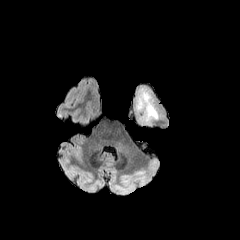
FLAIR magnetic resonance.
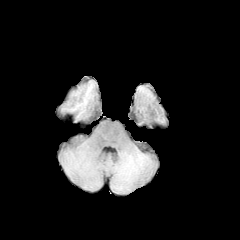
T1-weighted magnetic resonance.
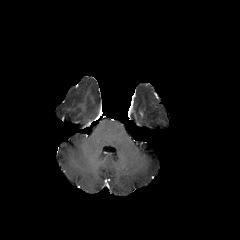
Same slice, post-contrast T1-weighted MR image.
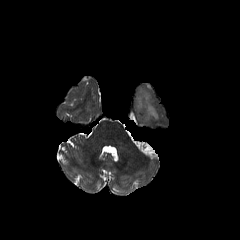
T2-weighted magnetic resonance of the same slice.
Head; Axial plane
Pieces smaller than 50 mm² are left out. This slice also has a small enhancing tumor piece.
Findings:
* peritumoral edema: box=[135, 89, 158, 123]